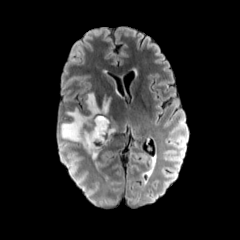
FLAIR magnetic resonance.
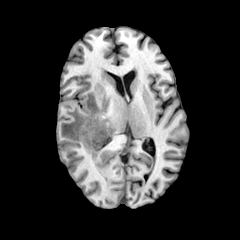
T1-weighted magnetic resonance.
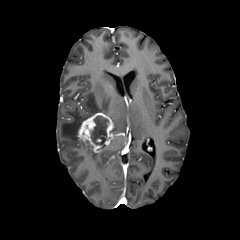
Same slice, post-contrast T1-weighted MRI.
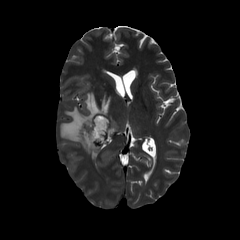
T2-weighted MRI.
Image size 240x240 | Axial view | Head
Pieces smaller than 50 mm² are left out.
Segmented structures:
- necrotic tumor core: region(90, 115, 108, 145)
- enhancing tumor: region(77, 113, 113, 152)
- peritumoral edema: region(60, 93, 109, 158)